240x240, Head, Axial plane, Slice 88 of 155
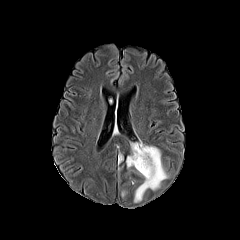
FLAIR MR.
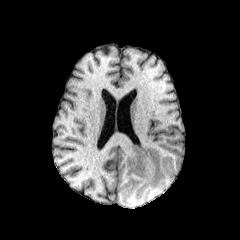
T1-weighted MR image.
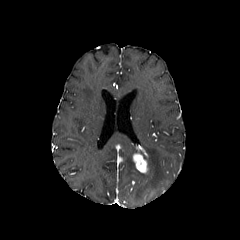
Post-contrast T1-weighted MR image.
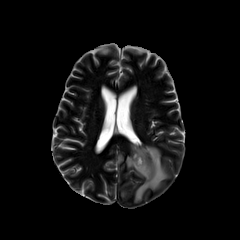
T2-weighted magnetic resonance.
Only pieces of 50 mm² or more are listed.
peritumoral edema: {"x1": 126, "y1": 144, "x2": 137, "y2": 168}, {"x1": 134, "y1": 143, "x2": 168, "y2": 202} | enhancing tumor: {"x1": 133, "y1": 145, "x2": 148, "y2": 173}